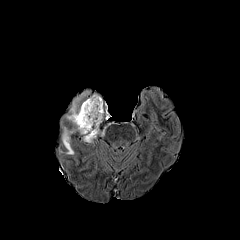
FLAIR MRI.
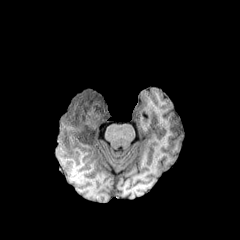
T1-weighted MR of the same slice.
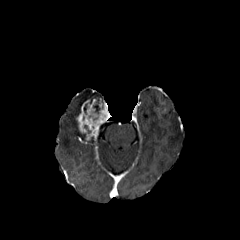
Post-contrast T1-weighted MR image.
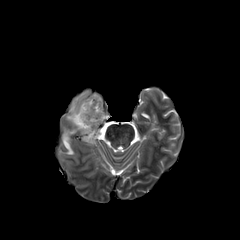
Same slice, T2-weighted magnetic resonance.
Axial view; Head
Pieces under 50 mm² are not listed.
peritumoral edema: bbox=[62, 90, 89, 155]
necrotic tumor core: bbox=[93, 99, 100, 113]
enhancing tumor: bbox=[76, 98, 105, 142]